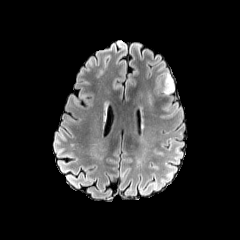
FLAIR MRI.
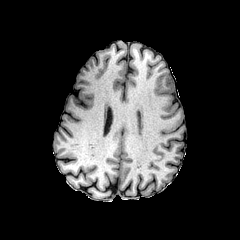
T1-weighted MR.
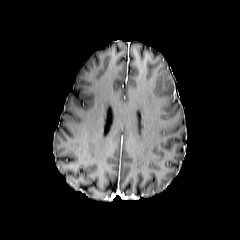
Post-contrast T1-weighted MRI of the same slice.
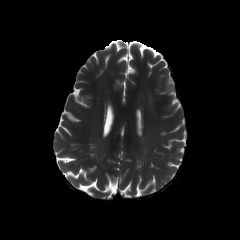
T2-weighted MR.
Head.
2 peritumoral edema regions are located at {"x1": 155, "y1": 72, "x2": 181, "y2": 119}, {"x1": 146, "y1": 92, "x2": 156, "y2": 108}.